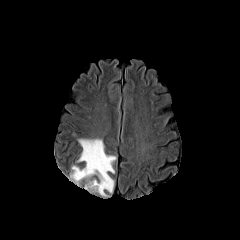
FLAIR MR image.
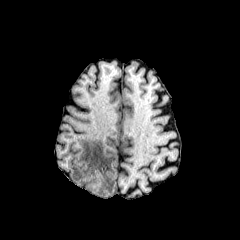
T1-weighted MRI.
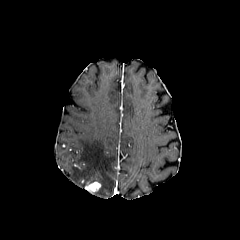
Post-contrast T1-weighted magnetic resonance.
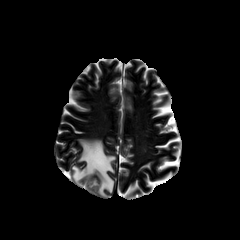
T2-weighted MR image of the same slice.
240x240.
<segmentation>
  <peritumoral_edema>(left=70, top=138, right=116, bottom=196)</peritumoral_edema>
  <enhancing_tumor>(left=84, top=181, right=101, bottom=193)</enhancing_tumor>
</segmentation>